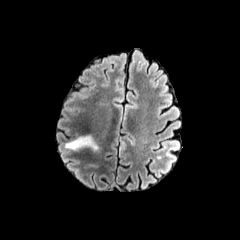
FLAIR MRI.
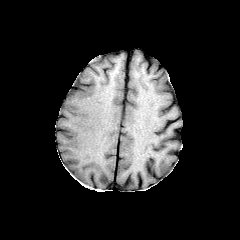
T1-weighted magnetic resonance.
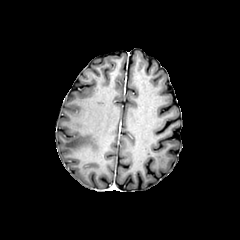
Post-contrast T1-weighted MRI of the same slice.
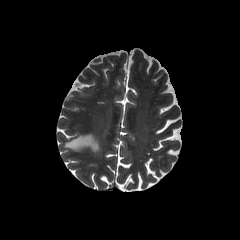
T2-weighted MR image.
Head
peritumoral edema = x1=64, y1=135, x2=98, y2=151